Slice 120 of 155; Brain
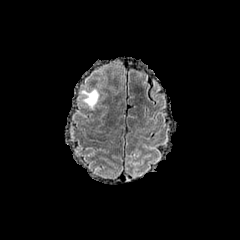
FLAIR MRI.
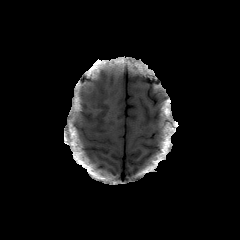
T1-weighted MRI of the same slice.
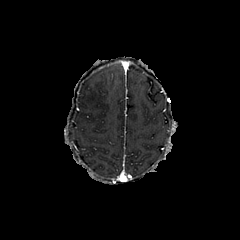
Post-contrast T1-weighted MRI.
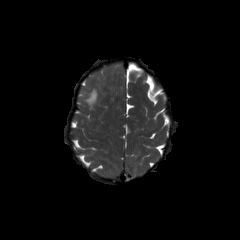
T2-weighted MR image.
The peritumoral edema lies within (x1=81, y1=89, x2=98, y2=107).